FLAIR MR image.
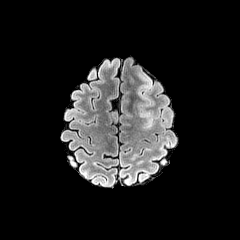
T1-weighted magnetic resonance.
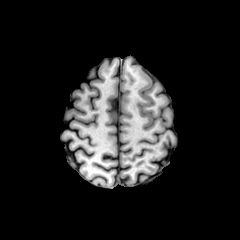
Post-contrast T1-weighted MR.
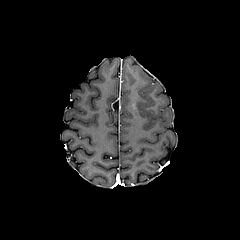
T2-weighted MRI.
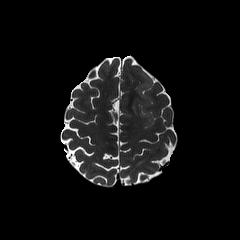
Axial slice. Brain.
peritumoral edema: bounding box left=138, top=75, right=153, bottom=127